Slice index 54 | Brain
FLAIR magnetic resonance.
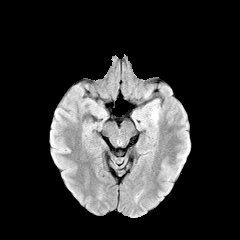
T1-weighted MR image.
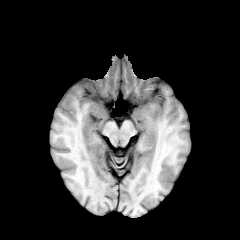
Post-contrast T1-weighted MR image.
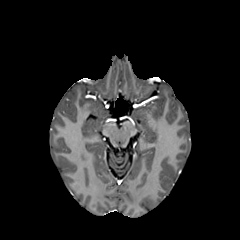
T2-weighted MRI.
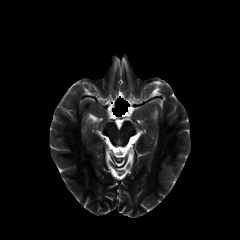
peritumoral edema: bounding box rect(150, 101, 159, 126)